FLAIR MR.
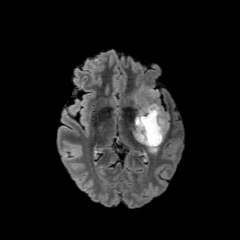
T1-weighted MRI.
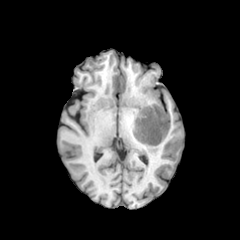
Post-contrast T1-weighted magnetic resonance.
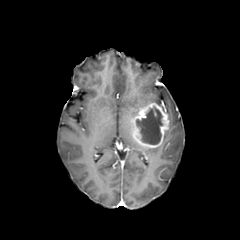
T2-weighted magnetic resonance.
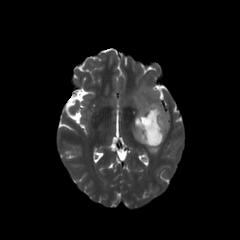
Brain. Axial slice.
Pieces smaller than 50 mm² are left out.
The largest enhancing tumor region is at 132,103,169,147. The 3 largest peritumoral edema regions are bounded by 148,146,159,153; 140,84,158,97; 128,91,161,106. The necrotic tumor core appears at 136,106,162,144.